FLAIR MR image.
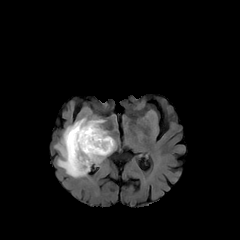
T1-weighted MRI.
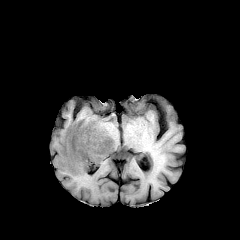
Post-contrast T1-weighted MRI.
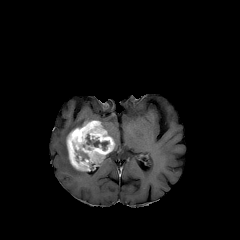
T2-weighted magnetic resonance.
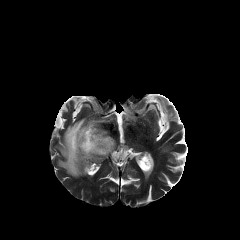
240x240 px. Head.
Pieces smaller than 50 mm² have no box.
Findings:
- enhancing tumor: x1=66 y1=120 x2=114 y2=171
- peritumoral edema: x1=55 y1=117 x2=104 y2=177
- necrotic tumor core: x1=82 y1=134 x2=111 y2=150, x1=73 y1=141 x2=88 y2=161